FLAIR MR image.
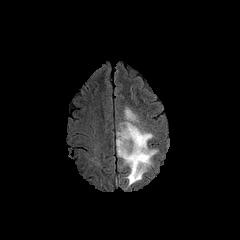
T1-weighted MRI.
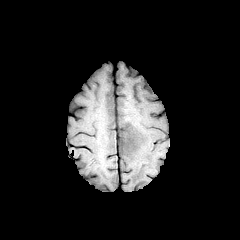
Post-contrast T1-weighted MRI.
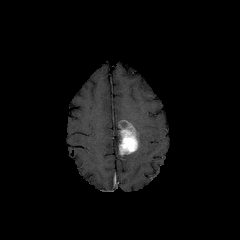
T2-weighted magnetic resonance.
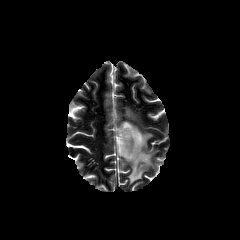
Brain
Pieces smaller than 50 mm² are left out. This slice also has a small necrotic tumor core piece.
Segmented structures:
• enhancing tumor: 118:120:138:155
• peritumoral edema: 116:107:158:186